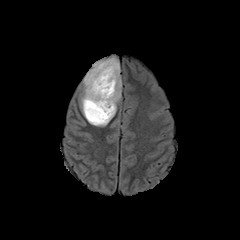
FLAIR MR.
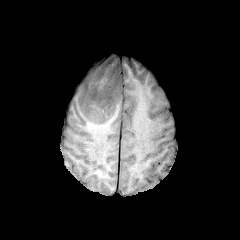
Same slice, T1-weighted MRI.
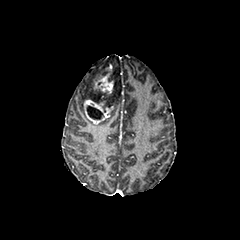
Post-contrast T1-weighted MR image.
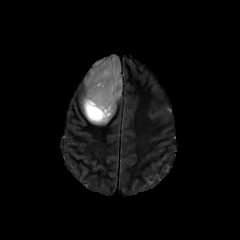
Same slice, T2-weighted magnetic resonance.
Image size 240x240
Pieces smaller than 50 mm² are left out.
<segmentation>
  <enhancing_tumor>[x1=83, y1=99, x2=113, y2=123], [x1=93, y1=62, x2=117, y2=94]</enhancing_tumor>
  <necrotic_tumor_core>[x1=87, y1=106, x2=102, y2=119]</necrotic_tumor_core>
  <peritumoral_edema>[x1=80, y1=56, x2=121, y2=126]</peritumoral_edema>
</segmentation>